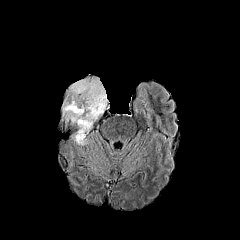
FLAIR MR.
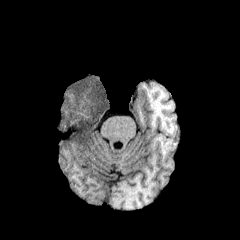
Same slice, T1-weighted MRI.
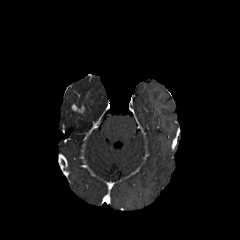
Post-contrast T1-weighted magnetic resonance.
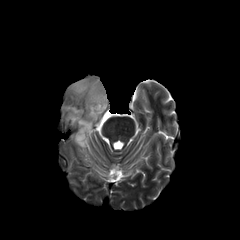
T2-weighted MR.
240x240 | Axial slice
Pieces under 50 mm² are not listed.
Annotated regions:
• peritumoral edema: x1=63, y1=78, x2=107, y2=144
• enhancing tumor: x1=71, y1=104, x2=84, y2=113